Slice 99/155; Image width 240 mm; 240x240; Head
FLAIR MR.
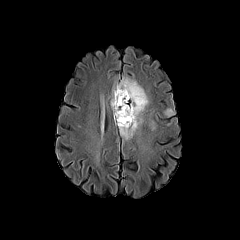
T1-weighted MR.
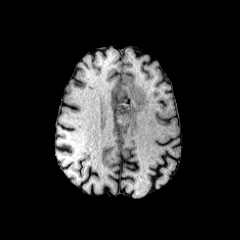
Post-contrast T1-weighted MRI.
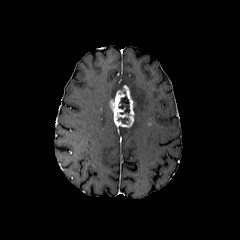
T2-weighted MR.
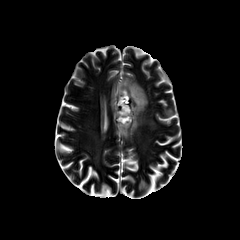
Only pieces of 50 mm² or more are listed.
necrotic tumor core — bbox(119, 96, 129, 114)
enhancing tumor — bbox(110, 85, 134, 127)
peritumoral edema — bbox(162, 109, 174, 117); bbox(112, 77, 148, 139)